FLAIR magnetic resonance.
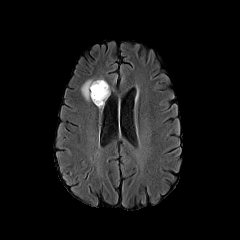
T1-weighted magnetic resonance.
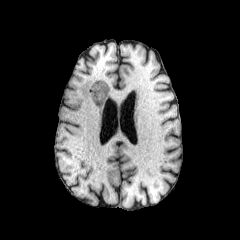
Post-contrast T1-weighted magnetic resonance.
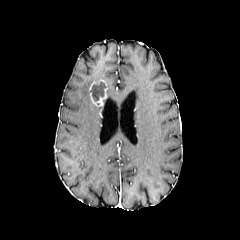
T2-weighted magnetic resonance.
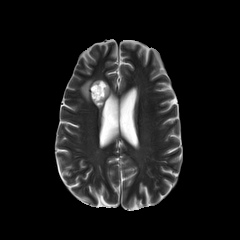
Axial slice, Image size 240x240, Head
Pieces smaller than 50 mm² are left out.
peritumoral edema = [81, 79, 93, 101]
necrotic tumor core = [90, 82, 106, 101]
enhancing tumor = [89, 79, 107, 106]